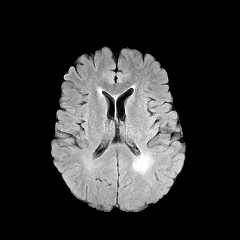
FLAIR MR image.
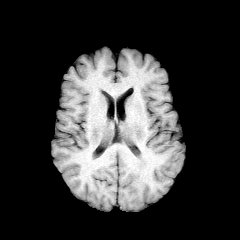
Same slice, T1-weighted magnetic resonance.
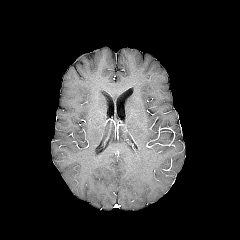
Same slice, post-contrast T1-weighted MR.
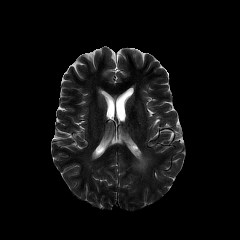
T2-weighted MR.
240x240. Axial plane. Brain.
peritumoral edema = box(133, 154, 149, 172)